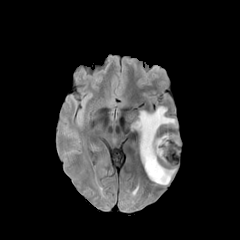
FLAIR MR.
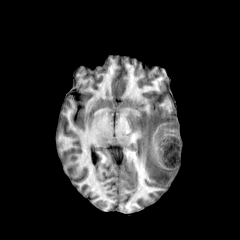
T1-weighted MR.
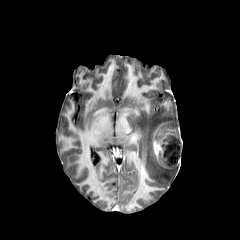
Post-contrast T1-weighted MRI.
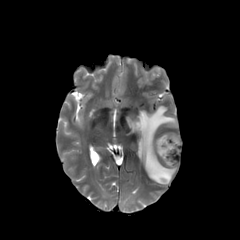
T2-weighted MR image.
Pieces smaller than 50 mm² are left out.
necrotic tumor core: 159,137,180,165 | peritumoral edema: 131,106,176,185 | enhancing tumor: 163,134,180,140; 153,137,178,168